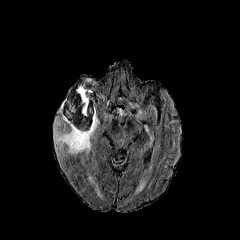
FLAIR magnetic resonance.
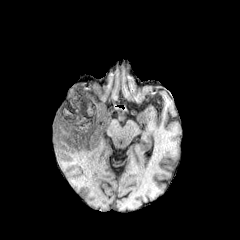
T1-weighted MRI.
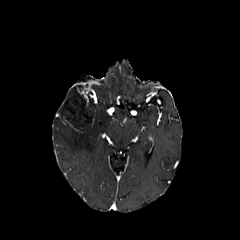
Post-contrast T1-weighted MRI of the same slice.
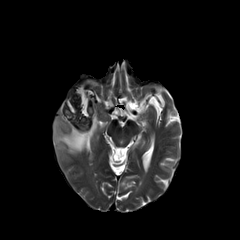
T2-weighted MR.
Head; 240x240; Axial view
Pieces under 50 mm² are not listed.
The largest peritumoral edema region is at (left=54, top=114, right=98, bottom=153). The largest necrotic tumor core region is bounded by (left=61, top=84, right=95, bottom=130). The 2 largest enhancing tumor regions appear at (left=63, top=116, right=83, bottom=133), (left=77, top=85, right=89, bottom=106).